FLAIR MRI.
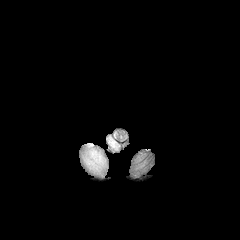
T1-weighted MR image.
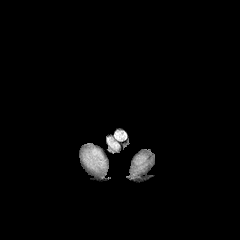
Post-contrast T1-weighted MRI.
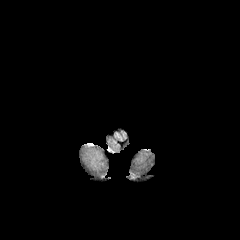
T2-weighted MR image.
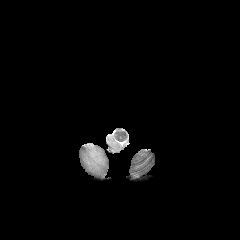
Axial view; Brain
peritumoral edema — left=82, top=144, right=106, bottom=173; left=106, top=133, right=119, bottom=150